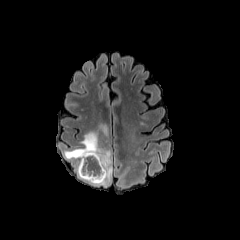
FLAIR MRI.
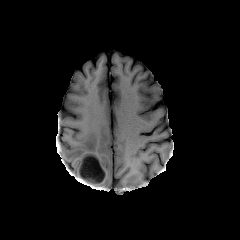
T1-weighted MR of the same slice.
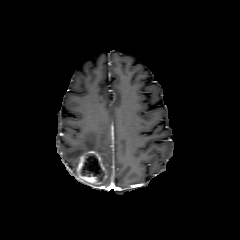
Post-contrast T1-weighted MR image.
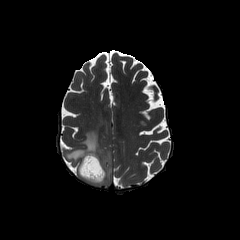
T2-weighted magnetic resonance of the same slice.
enhancing tumor — [x1=77, y1=151, x2=106, y2=183]
peritumoral edema — [x1=65, y1=131, x2=112, y2=186], [x1=97, y1=124, x2=108, y2=134]
necrotic tumor core — [x1=81, y1=154, x2=104, y2=180]